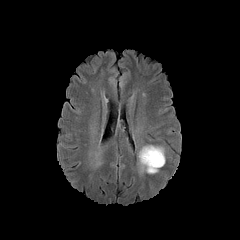
FLAIR MR image.
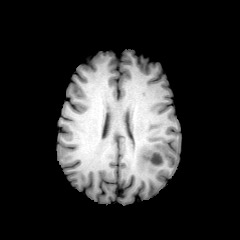
T1-weighted MR.
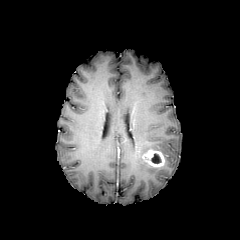
Post-contrast T1-weighted MRI.
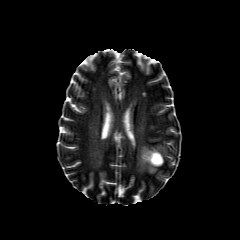
Same slice, T2-weighted MR.
Brain. Axial view.
The necrotic tumor core is at box=[151, 153, 161, 163]. The peritumoral edema lies within box=[138, 145, 164, 173]. The enhancing tumor is located at box=[142, 149, 164, 166].